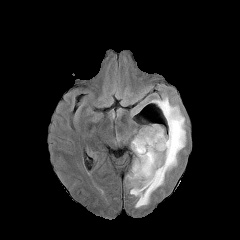
FLAIR MRI.
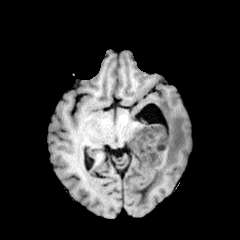
T1-weighted MR image.
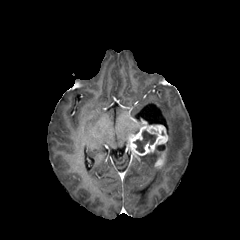
Post-contrast T1-weighted MR image.
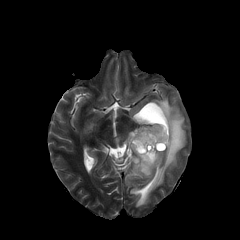
T2-weighted MRI.
Axial plane
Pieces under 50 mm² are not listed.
peritumoral edema: x1=126, y1=95, x2=186, y2=207
necrotic tumor core: x1=133, y1=130, x2=156, y2=152
enhancing tumor: x1=128, y1=125, x2=168, y2=155; x1=154, y1=152, x2=164, y2=167